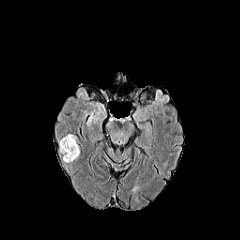
FLAIR MR image.
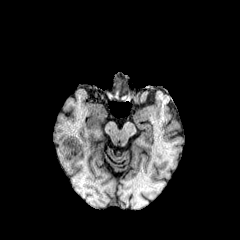
T1-weighted MRI.
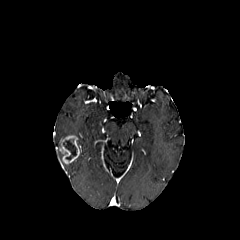
Post-contrast T1-weighted MR image.
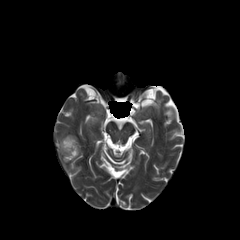
T2-weighted MRI of the same slice.
Brain; 240x240 px; Axial plane
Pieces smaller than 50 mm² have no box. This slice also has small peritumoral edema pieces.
<segmentation>
  <necrotic_tumor_core>(63,140,76,160)</necrotic_tumor_core>
  <enhancing_tumor>(59,135,79,164)</enhancing_tumor>
</segmentation>